FLAIR MR image.
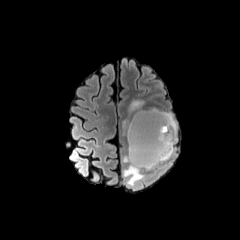
T1-weighted MR.
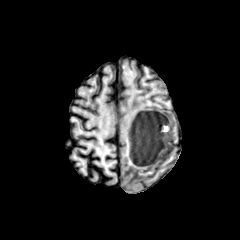
Post-contrast T1-weighted MR image.
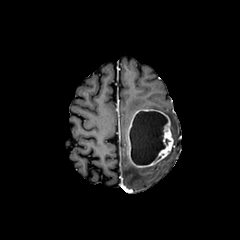
T2-weighted MRI.
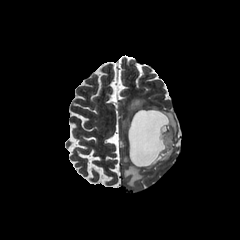
Head, Axial slice
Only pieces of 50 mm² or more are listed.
The enhancing tumor lies within box(127, 109, 173, 167). The 4 largest peritumoral edema regions are bounded by box(123, 155, 158, 189); box(164, 112, 176, 142); box(159, 147, 173, 162); box(122, 98, 144, 136). The largest necrotic tumor core region is at box(129, 111, 168, 164).